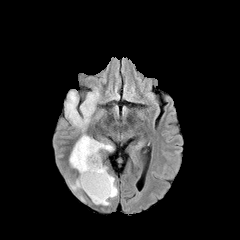
FLAIR magnetic resonance.
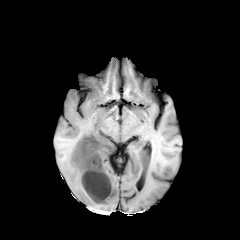
Same slice, T1-weighted MR.
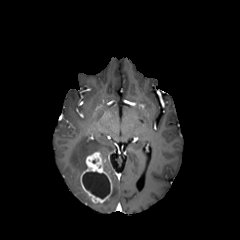
Post-contrast T1-weighted MRI.
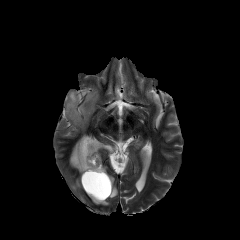
T2-weighted MR of the same slice.
240x240 px | Head
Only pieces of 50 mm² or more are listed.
peritumoral_edema:
  - (104, 166, 117, 198)
  - (65, 91, 98, 129)
  - (71, 178, 82, 190)
  - (69, 134, 113, 175)
enhancing_tumor:
  - (80, 151, 112, 203)
necrotic_tumor_core:
  - (82, 172, 110, 198)